Axial plane | Image width 240 mm | Slice 60 of 155
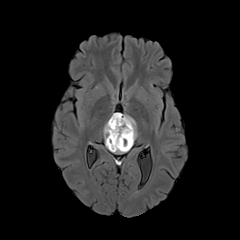
FLAIR magnetic resonance.
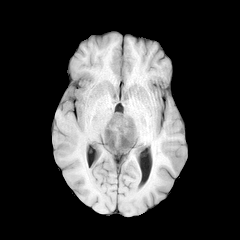
Same slice, T1-weighted MR image.
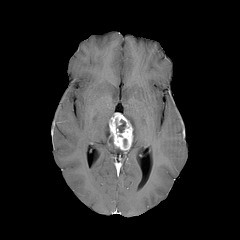
Post-contrast T1-weighted MR image.
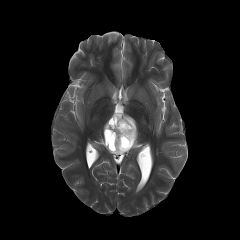
Same slice, T2-weighted MRI.
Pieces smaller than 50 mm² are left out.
* peritumoral edema: bbox=[103, 120, 129, 153]; bbox=[122, 114, 137, 145]
* enhancing tumor: bbox=[109, 113, 133, 150]
* necrotic tumor core: bbox=[116, 119, 125, 132]; bbox=[106, 129, 115, 148]